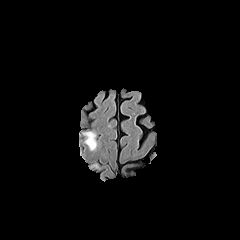
FLAIR MR.
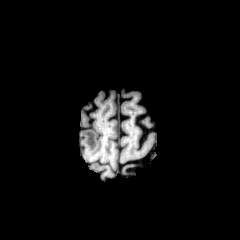
T1-weighted MR image.
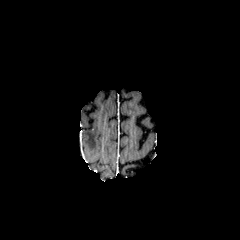
Post-contrast T1-weighted MR image of the same slice.
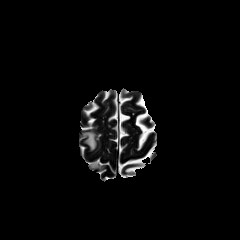
T2-weighted MRI of the same slice.
Brain
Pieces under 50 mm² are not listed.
The largest peritumoral edema region appears at [x1=83, y1=131, x2=97, y2=150].